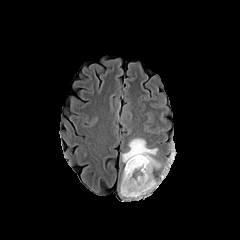
FLAIR MRI.
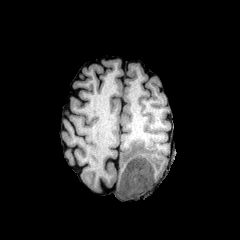
T1-weighted MR.
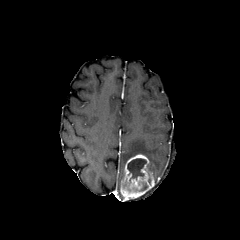
Same slice, post-contrast T1-weighted magnetic resonance.
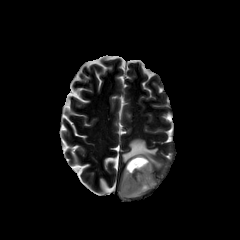
T2-weighted magnetic resonance of the same slice.
Head
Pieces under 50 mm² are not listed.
necrotic tumor core: bounding box [x1=127, y1=158, x2=146, y2=178]
peritumoral edema: bounding box [x1=122, y1=138, x2=162, y2=169]
enhancing tumor: bounding box [x1=120, y1=154, x2=155, y2=200]